FLAIR MRI.
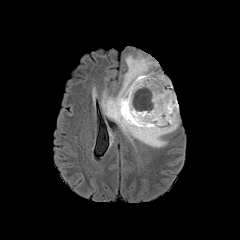
T1-weighted MR.
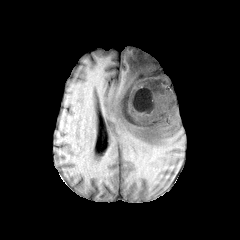
Post-contrast T1-weighted MRI.
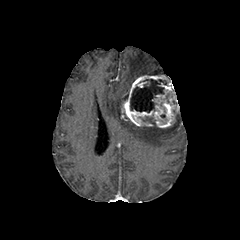
T2-weighted magnetic resonance.
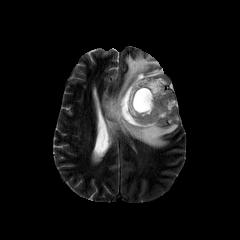
Head
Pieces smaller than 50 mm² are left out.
The enhancing tumor is located at (120,74,178,127). The 2 largest necrotic tumor core regions are located at (130,79,166,112), (142,117,154,124). The largest peritumoral edema region is at (101,53,179,147).